Axial plane
FLAIR MRI.
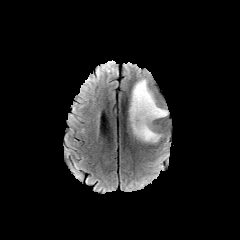
T1-weighted MR.
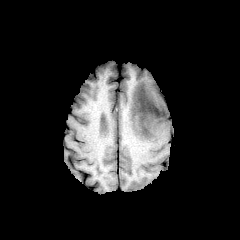
Post-contrast T1-weighted MR.
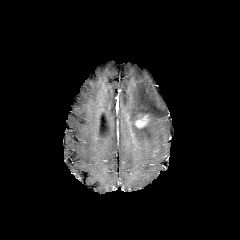
T2-weighted magnetic resonance.
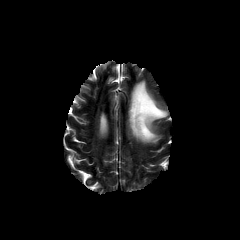
peritumoral edema — 129, 79, 168, 143
enhancing tumor — 136, 115, 147, 127